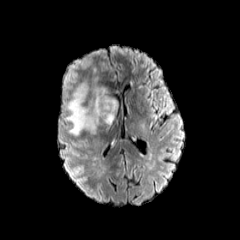
FLAIR MRI.
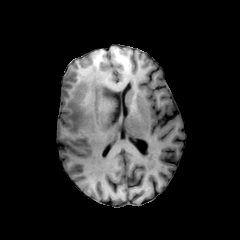
T1-weighted MRI.
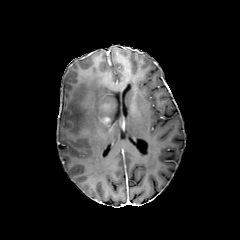
Post-contrast T1-weighted MRI.
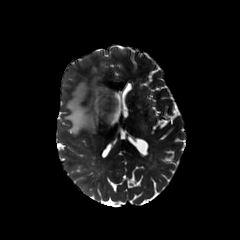
T2-weighted MR image.
Head; Axial view
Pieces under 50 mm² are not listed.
<segmentation>
  <peritumoral_edema>(left=65, top=82, right=118, bottom=135)</peritumoral_edema>
  <enhancing_tumor>(left=101, top=116, right=111, bottom=125)</enhancing_tumor>
</segmentation>